Brain.
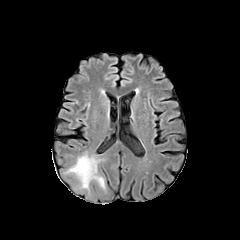
FLAIR MRI.
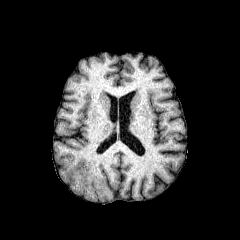
T1-weighted magnetic resonance of the same slice.
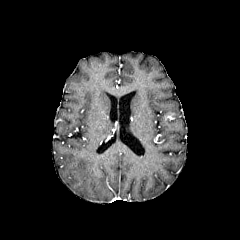
Same slice, post-contrast T1-weighted magnetic resonance.
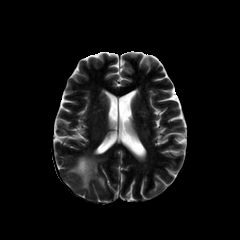
T2-weighted MR image.
<segmentation>
  <peritumoral_edema>(x1=69, y1=155, x2=104, y2=188)</peritumoral_edema>
</segmentation>